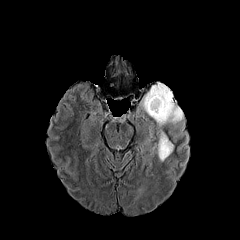
FLAIR MR image.
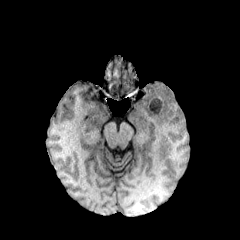
T1-weighted MRI of the same slice.
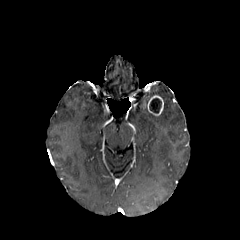
Same slice, post-contrast T1-weighted magnetic resonance.
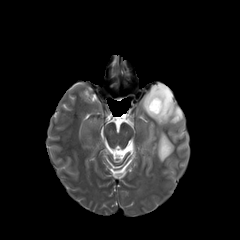
T2-weighted MR.
Image size 240x240, Head
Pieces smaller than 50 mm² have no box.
necrotic tumor core = (149, 98, 161, 113)
peritumoral edema = (140, 82, 183, 126), (153, 129, 173, 161)
enhancing tumor = (147, 95, 163, 115)